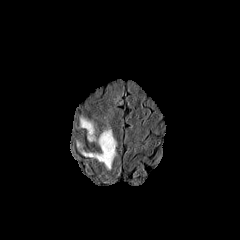
FLAIR MR.
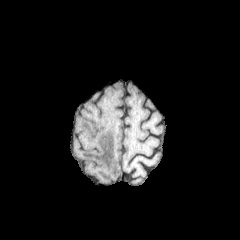
T1-weighted MRI of the same slice.
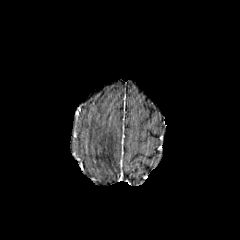
Post-contrast T1-weighted MRI of the same slice.
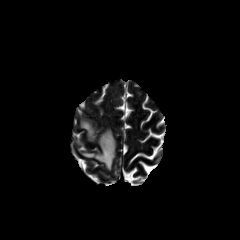
T2-weighted MR image.
Brain. Axial view.
peritumoral edema: 75,127,118,169; 80,115,95,141